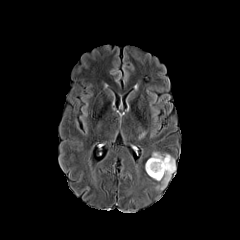
FLAIR magnetic resonance.
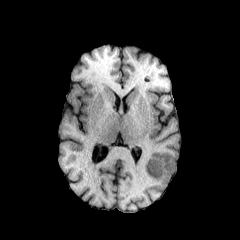
Same slice, T1-weighted MRI.
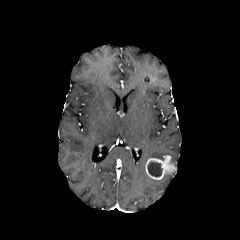
Same slice, post-contrast T1-weighted MR image.
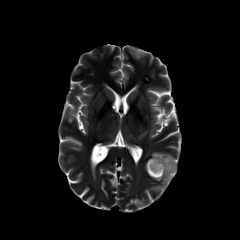
Same slice, T2-weighted MR image.
Axial slice
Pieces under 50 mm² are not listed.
The enhancing tumor appears at box(145, 155, 175, 179). The 2 largest peritumoral edema regions are bounded by box(151, 152, 170, 159); box(156, 174, 171, 189). The necrotic tumor core is bounded by box(147, 161, 162, 176).